Slice 97/155
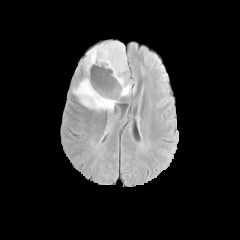
FLAIR magnetic resonance.
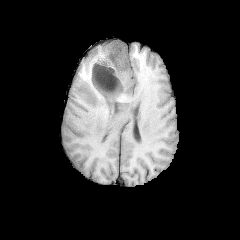
Same slice, T1-weighted magnetic resonance.
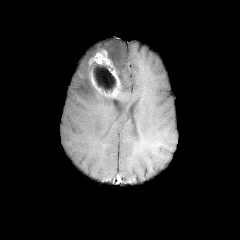
Post-contrast T1-weighted MR of the same slice.
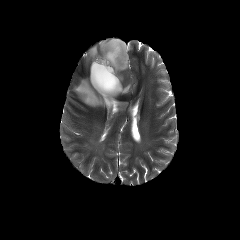
Same slice, T2-weighted MR.
• necrotic tumor core: x1=92 y1=62 x2=116 y2=92
• enhancing tumor: x1=87 y1=48 x2=121 y2=96
• peritumoral edema: x1=72 y1=78 x2=116 y2=111, x1=81 y1=41 x2=131 y2=95